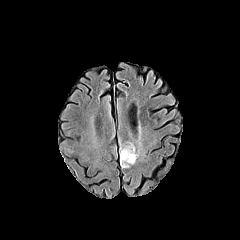
FLAIR MR image.
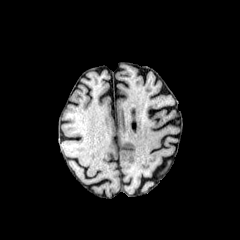
T1-weighted MR of the same slice.
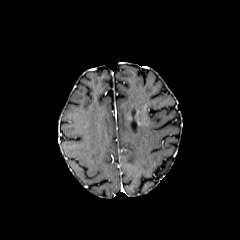
Same slice, post-contrast T1-weighted MR.
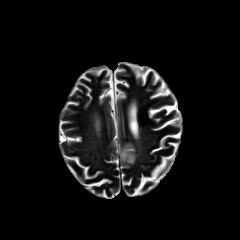
T2-weighted magnetic resonance.
Brain
Findings:
* peritumoral edema: 120, 143, 138, 167